FLAIR MR image.
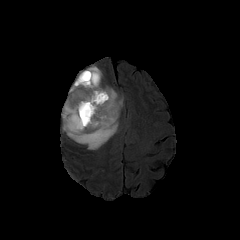
T1-weighted MRI.
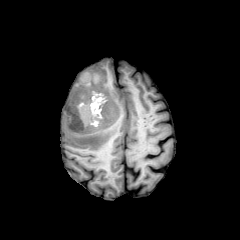
Post-contrast T1-weighted magnetic resonance.
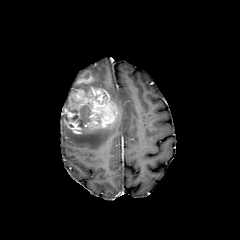
T2-weighted MRI.
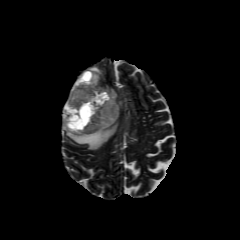
Image size 240x240; Axial plane
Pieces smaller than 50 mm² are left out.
{"enhancing_tumor": ["box=[75, 71, 96, 84]", "box=[62, 86, 119, 133]"], "necrotic_tumor_core": ["box=[72, 103, 90, 127]"], "peritumoral_edema": ["box=[69, 66, 102, 93]", "box=[62, 115, 118, 149]", "box=[103, 86, 123, 110]"]}